Head; Axial view
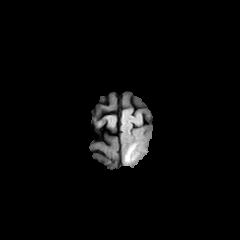
FLAIR MR.
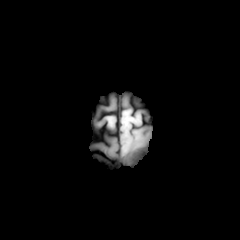
T1-weighted MR image.
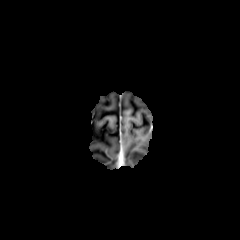
Post-contrast T1-weighted magnetic resonance of the same slice.
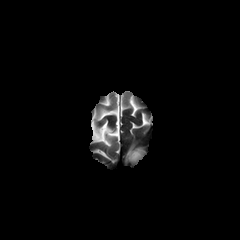
T2-weighted magnetic resonance.
The enhancing tumor appears at (left=128, top=149, right=146, bottom=167). The necrotic tumor core appears at (left=131, top=152, right=142, bottom=161). The peritumoral edema appears at (left=124, top=143, right=142, bottom=163).